FLAIR MRI.
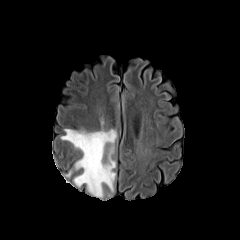
T1-weighted MR.
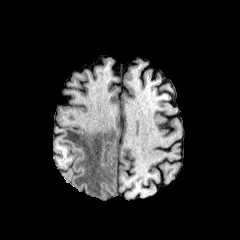
Post-contrast T1-weighted magnetic resonance.
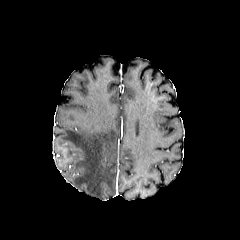
T2-weighted MRI.
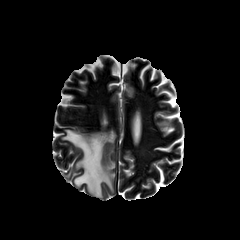
Axial view.
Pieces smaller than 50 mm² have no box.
peritumoral_edema:
  - bbox=[61, 129, 116, 197]